FLAIR magnetic resonance.
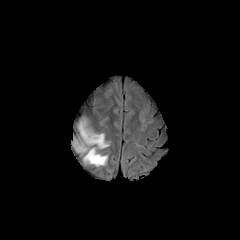
T1-weighted MRI.
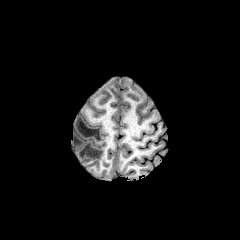
Post-contrast T1-weighted magnetic resonance.
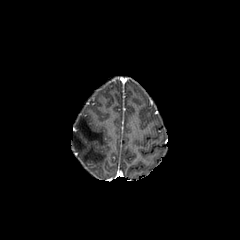
T2-weighted MR image.
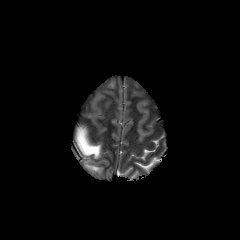
The peritumoral edema is bounded by bbox(73, 121, 108, 166).